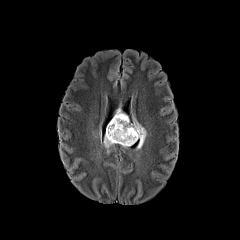
FLAIR MRI.
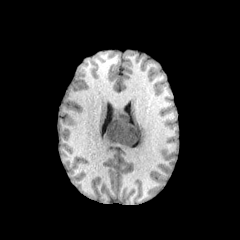
T1-weighted magnetic resonance.
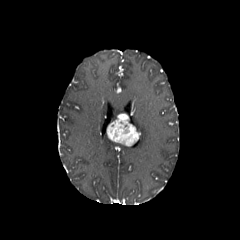
Post-contrast T1-weighted MRI of the same slice.
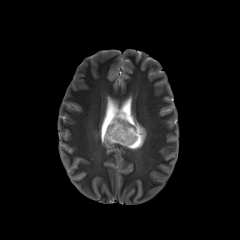
T2-weighted MR image.
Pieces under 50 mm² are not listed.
The 2 largest peritumoral edema regions appear at [103, 134, 118, 152], [133, 118, 146, 149]. The enhancing tumor is located at [106, 113, 140, 146].